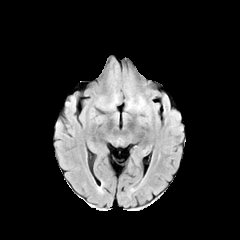
FLAIR MRI.
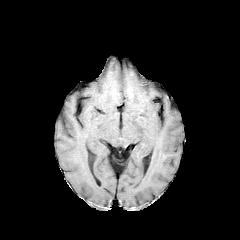
T1-weighted MR of the same slice.
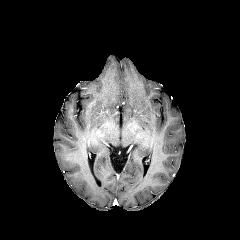
Same slice, post-contrast T1-weighted MRI.
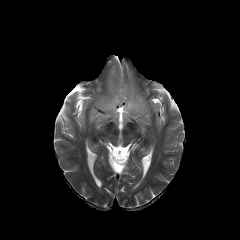
T2-weighted MR.
Brain
Findings:
* peritumoral edema: box=[126, 92, 145, 110]; box=[108, 94, 119, 108]